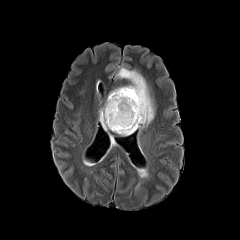
FLAIR MR.
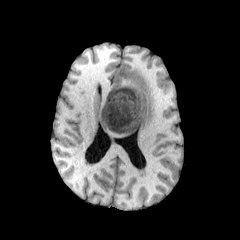
Same slice, T1-weighted magnetic resonance.
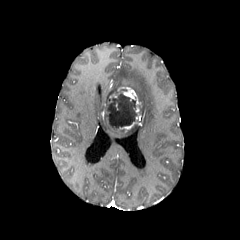
Post-contrast T1-weighted magnetic resonance.
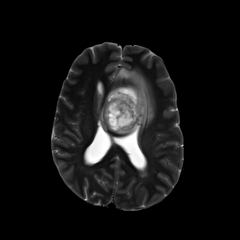
T2-weighted MR.
240x240 px; Brain
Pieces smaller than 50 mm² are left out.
peritumoral edema: x1=113, y1=125, x2=140, y2=135; x1=99, y1=108, x2=111, y2=130; x1=115, y1=68, x2=153, y2=127 | enhancing tumor: x1=109, y1=87, x2=141, y2=132 | necrotic tumor core: x1=104, y1=93, x2=137, y2=130